Axial view, Brain
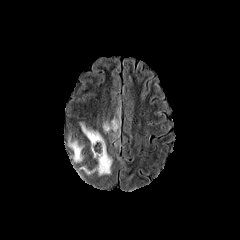
FLAIR MRI.
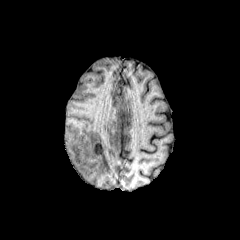
T1-weighted magnetic resonance of the same slice.
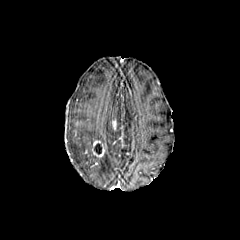
Same slice, post-contrast T1-weighted MR.
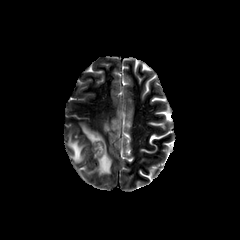
T2-weighted MRI.
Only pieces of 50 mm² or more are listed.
The necrotic tumor core is located at (94,143,101,154). 3 peritumoral edema regions are located at (68,136,83,162), (103,110,120,136), (79,123,112,175). The largest enhancing tumor region lies within (92,140,105,157).